FLAIR MR.
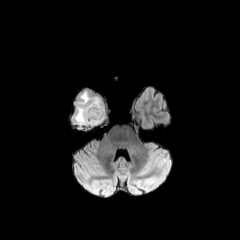
T1-weighted magnetic resonance.
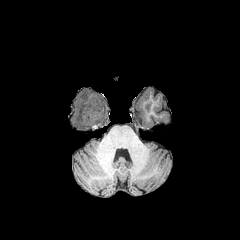
Post-contrast T1-weighted MR.
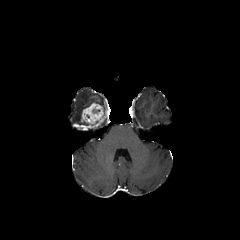
T2-weighted MRI.
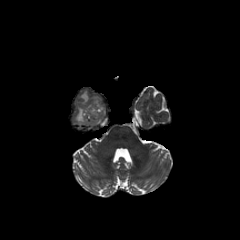
240x240.
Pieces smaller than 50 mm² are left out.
enhancing tumor: [75, 102, 105, 131] | peritumoral edema: [72, 91, 106, 125] | necrotic tumor core: [91, 106, 101, 114]